Slice 103/155 | 240x240 | Axial slice
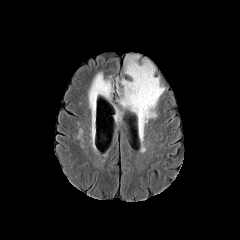
FLAIR MR image.
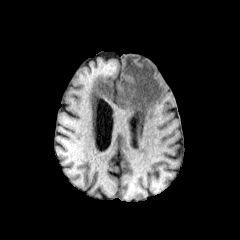
Same slice, T1-weighted MR.
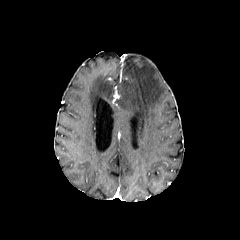
Post-contrast T1-weighted MR.
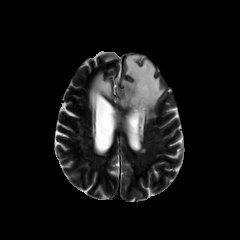
T2-weighted MRI.
<segmentation>
  <peritumoral_edema>bbox=[88, 70, 111, 108]; bbox=[119, 55, 164, 135]</peritumoral_edema>
</segmentation>